FLAIR MR.
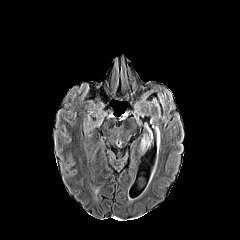
T1-weighted MRI.
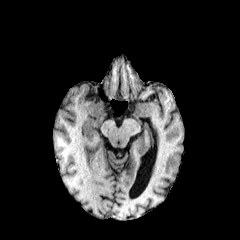
Post-contrast T1-weighted MR.
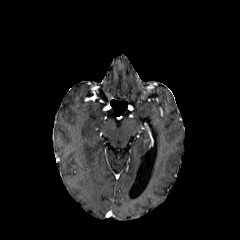
T2-weighted magnetic resonance.
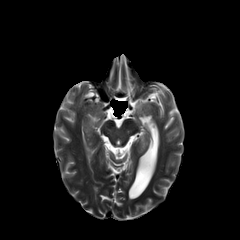
Segmented structures:
• peritumoral edema: [x1=156, y1=127, x2=159, y2=148], [x1=141, y1=136, x2=150, y2=149]